Head. Slice 77 of 155.
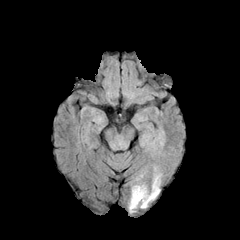
FLAIR MRI.
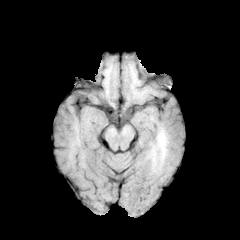
T1-weighted MR.
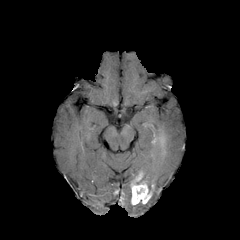
Post-contrast T1-weighted MR.
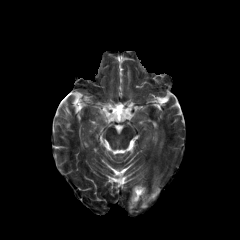
T2-weighted MRI.
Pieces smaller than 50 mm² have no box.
• peritumoral edema: rect(129, 200, 138, 212); rect(148, 176, 159, 202)
• enhancing tumor: rect(131, 177, 152, 205)